FLAIR MR.
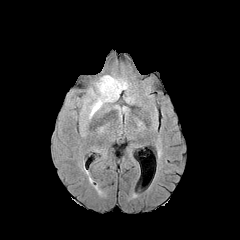
T1-weighted MR.
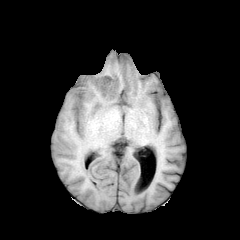
Post-contrast T1-weighted MR.
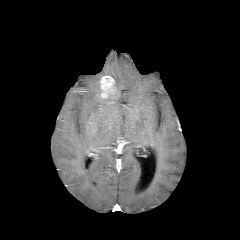
T2-weighted MR.
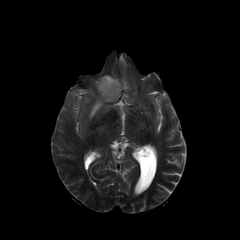
Axial plane. Brain.
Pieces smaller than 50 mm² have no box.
peritumoral_edema:
  - box=[90, 79, 126, 116]
enhancing_tumor:
  - box=[99, 75, 116, 98]